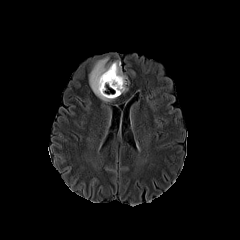
FLAIR MR.
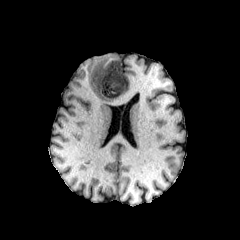
T1-weighted magnetic resonance of the same slice.
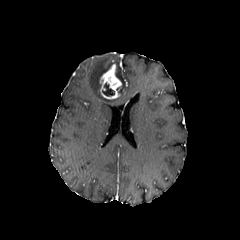
Post-contrast T1-weighted magnetic resonance.
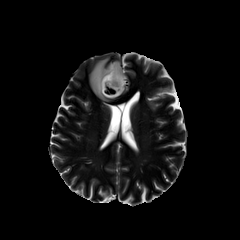
T2-weighted magnetic resonance of the same slice.
Image size 240x240.
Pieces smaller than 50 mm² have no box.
enhancing tumor: [100, 64, 121, 99]
necrotic tumor core: [102, 82, 114, 96]
peritumoral edema: [89, 57, 127, 101]